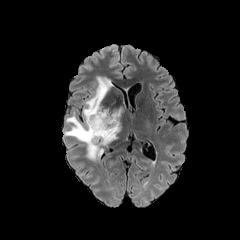
FLAIR magnetic resonance.
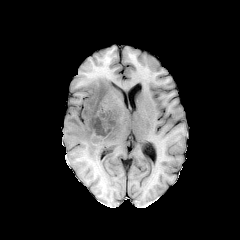
Same slice, T1-weighted MR.
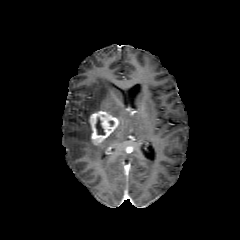
Same slice, post-contrast T1-weighted MR image.
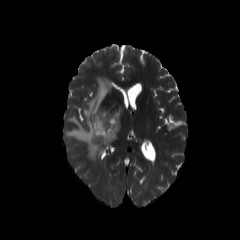
T2-weighted MR of the same slice.
Head. Axial plane.
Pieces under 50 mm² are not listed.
peritumoral_edema:
  - rect(111, 109, 121, 119)
  - rect(64, 76, 120, 161)
enhancing_tumor:
  - rect(89, 110, 119, 144)
necrotic_tumor_core:
  - rect(96, 118, 104, 134)